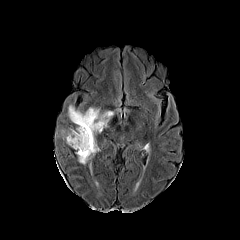
FLAIR magnetic resonance.
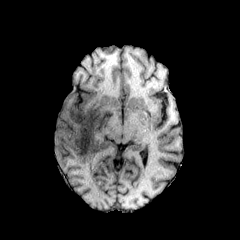
T1-weighted MR image.
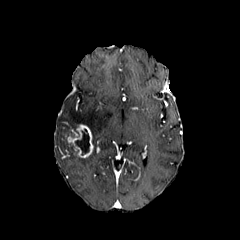
Same slice, post-contrast T1-weighted magnetic resonance.
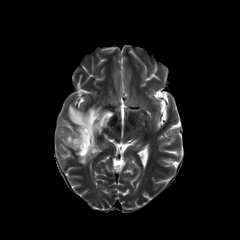
T2-weighted MRI.
Axial view
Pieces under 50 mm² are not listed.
<segmentation>
  <enhancing_tumor>65 124 93 157</enhancing_tumor>
  <peritumoral_edema>68 105 113 185</peritumoral_edema>
  <necrotic_tumor_core>75 129 89 155</necrotic_tumor_core>
</segmentation>